FLAIR magnetic resonance.
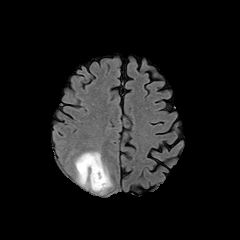
T1-weighted MR.
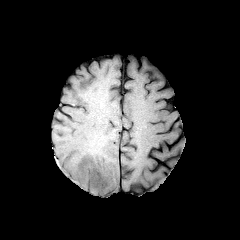
Post-contrast T1-weighted MR.
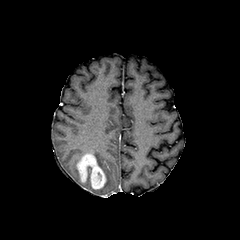
T2-weighted MRI.
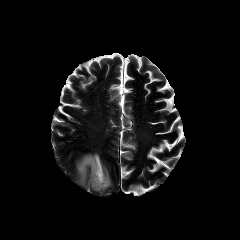
Head. Axial view.
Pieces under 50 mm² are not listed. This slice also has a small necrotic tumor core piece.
The peritumoral edema lies within (left=75, top=152, right=112, bottom=193). The enhancing tumor is at (left=77, top=154, right=106, bottom=189).